FLAIR MR.
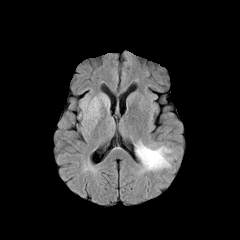
T1-weighted MR.
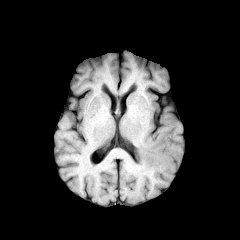
Post-contrast T1-weighted MR image.
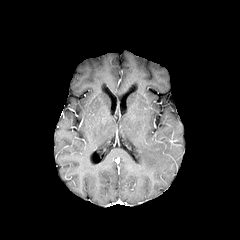
T2-weighted MRI.
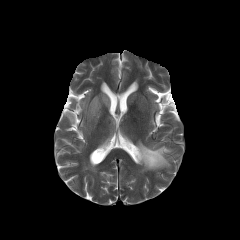
Brain | Axial slice
Annotated regions:
• peritumoral edema: bbox(100, 93, 108, 109); bbox(80, 97, 100, 139); bbox(135, 141, 171, 170)